Brain; Slice 111 of 155
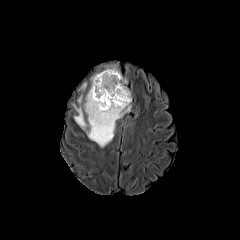
FLAIR MR.
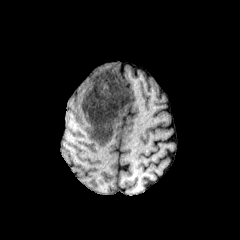
T1-weighted MR of the same slice.
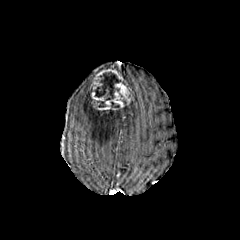
Same slice, post-contrast T1-weighted MR image.
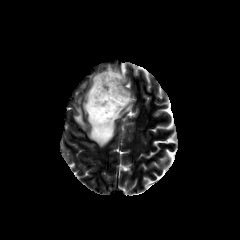
T2-weighted magnetic resonance.
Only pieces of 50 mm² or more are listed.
<segmentation>
  <necrotic_tumor_core>97 101 106 107, 90 71 121 100</necrotic_tumor_core>
  <peritumoral_edema>74 89 131 147</peritumoral_edema>
  <enhancing_tumor>91 92 105 107, 90 67 132 110</enhancing_tumor>
</segmentation>